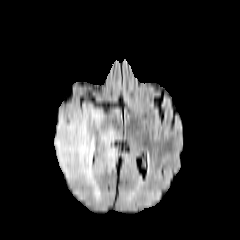
FLAIR MRI.
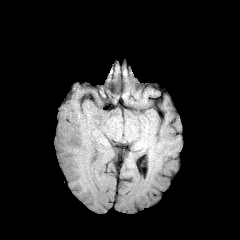
T1-weighted MRI.
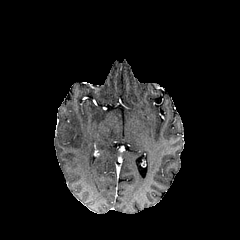
Post-contrast T1-weighted MRI.
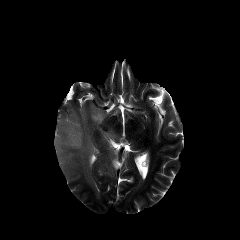
T2-weighted MR of the same slice.
Axial view
{"peritumoral_edema": ["54,104,119,200"]}